FLAIR MRI.
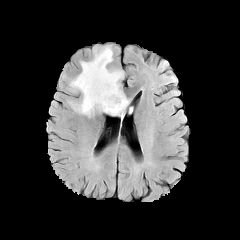
T1-weighted MR.
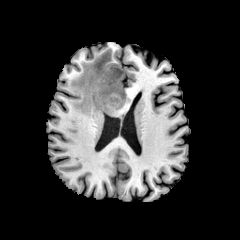
Post-contrast T1-weighted MRI.
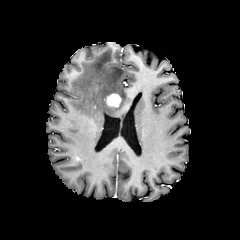
T2-weighted MRI.
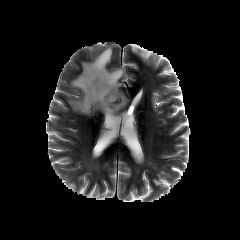
Axial slice
The enhancing tumor is bounded by 106:93:121:107. The peritumoral edema lies within 69:46:129:117.